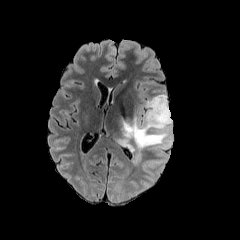
FLAIR MR image.
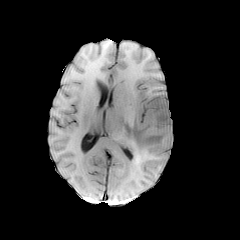
T1-weighted MR.
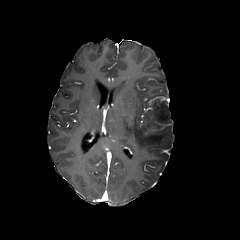
Post-contrast T1-weighted MR.
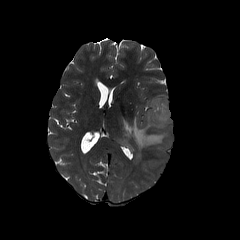
Same slice, T2-weighted MRI.
Axial slice, Brain
peritumoral edema at 142, 158, 167, 167; 116, 94, 172, 165